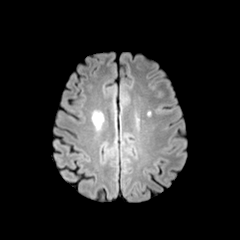
FLAIR MR image.
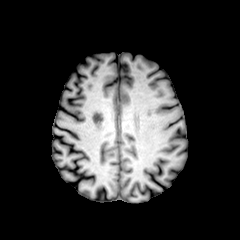
T1-weighted magnetic resonance.
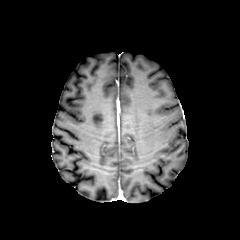
Post-contrast T1-weighted magnetic resonance.
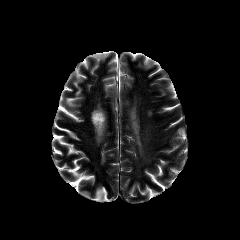
T2-weighted MRI.
peritumoral_edema:
  - bbox=[91, 111, 103, 130]